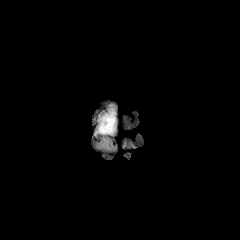
FLAIR MRI.
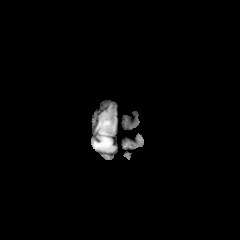
T1-weighted MR.
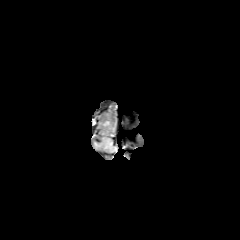
Post-contrast T1-weighted MR image.
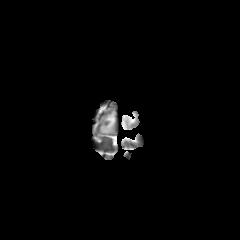
T2-weighted magnetic resonance.
Annotated regions:
- peritumoral edema: <bbox>97, 105, 115, 134</bbox>